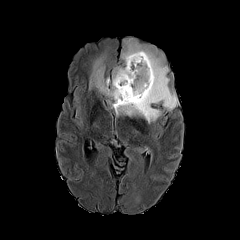
FLAIR MR image.
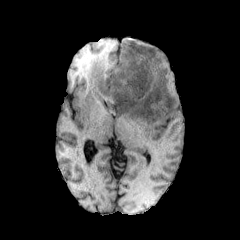
T1-weighted MRI of the same slice.
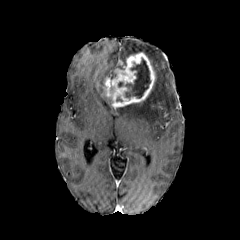
Post-contrast T1-weighted MR image of the same slice.
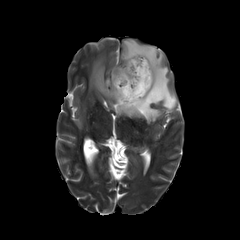
T2-weighted MR image.
Image size 240x240 | Head
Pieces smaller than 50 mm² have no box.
The largest necrotic tumor core region is at (left=125, top=58, right=150, bottom=98). The enhancing tumor is bounded by (left=102, top=52, right=155, bottom=109). The 3 largest peritumoral edema regions are bounded by (left=115, top=38, right=178, bottom=123), (left=88, top=50, right=106, bottom=93), (left=112, top=65, right=123, bottom=78).